Image width 240 mm; Brain; Slice index 111
FLAIR MRI.
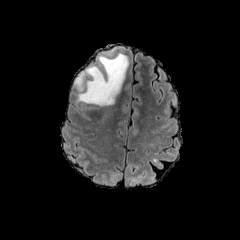
T1-weighted MR.
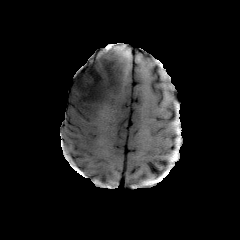
Post-contrast T1-weighted magnetic resonance.
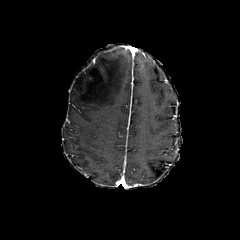
T2-weighted MR.
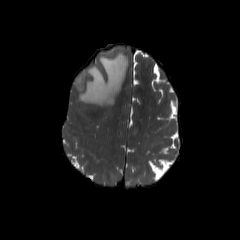
peritumoral edema: (left=74, top=49, right=128, bottom=106)